FLAIR magnetic resonance.
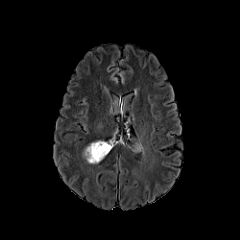
T1-weighted magnetic resonance.
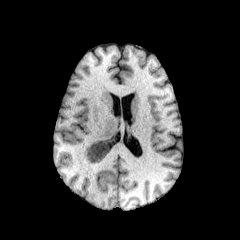
Post-contrast T1-weighted magnetic resonance.
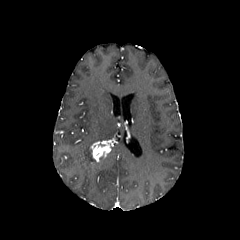
T2-weighted MR image.
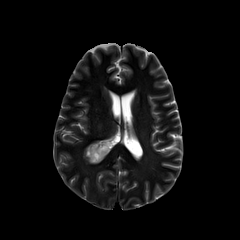
Head.
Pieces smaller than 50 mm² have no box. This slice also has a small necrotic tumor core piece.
The enhancing tumor is located at [91,141,110,161]. The largest peritumoral edema region appears at [83,143,98,163].